Slice 114 of 155. Axial view. Head.
FLAIR MR.
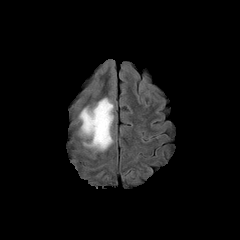
T1-weighted MR.
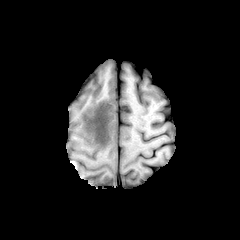
Post-contrast T1-weighted MR.
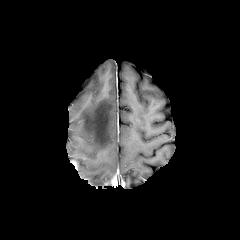
T2-weighted MRI.
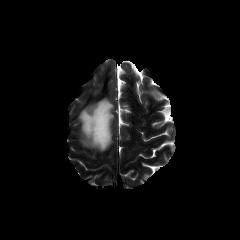
The peritumoral edema is at 79, 98, 113, 151.